FLAIR magnetic resonance.
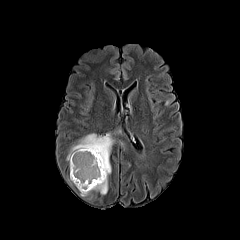
T1-weighted MR.
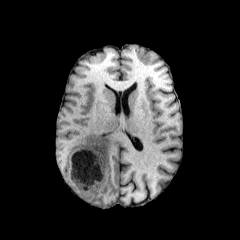
Post-contrast T1-weighted MR.
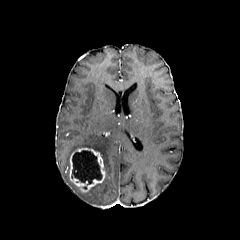
T2-weighted MR image.
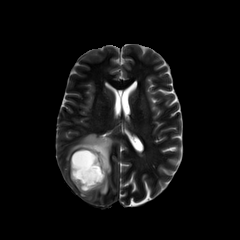
Axial slice
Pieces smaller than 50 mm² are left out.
The enhancing tumor lies within (69, 148, 105, 192). The largest peritumoral edema region is at (66, 133, 124, 197). The largest necrotic tumor core region lies within (71, 150, 102, 185).